Image size 240x240 | Axial view | Brain
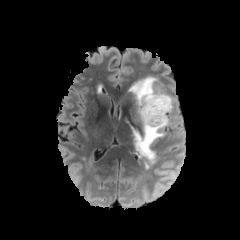
FLAIR magnetic resonance.
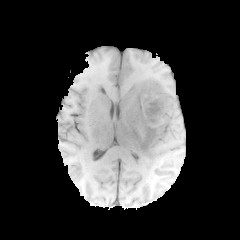
Same slice, T1-weighted magnetic resonance.
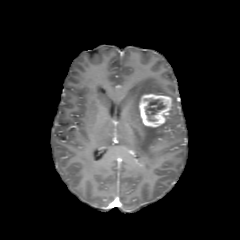
Same slice, post-contrast T1-weighted magnetic resonance.
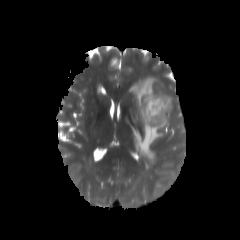
T2-weighted MR image.
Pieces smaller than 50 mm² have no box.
necrotic tumor core: bounding box bbox=[145, 99, 165, 120]
enhancing tumor: bounding box bbox=[139, 94, 171, 127]
peritumoral edema: bounding box bbox=[132, 116, 169, 168]; bbox=[129, 76, 173, 115]